FLAIR MRI.
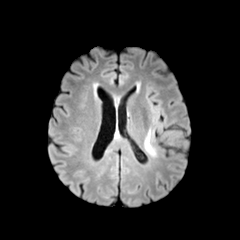
T1-weighted MRI.
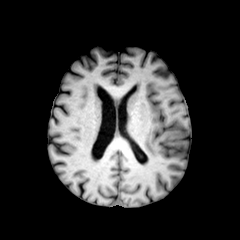
Post-contrast T1-weighted MR image.
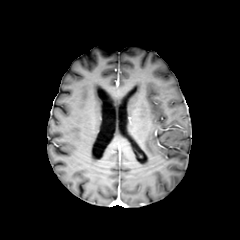
T2-weighted MR image.
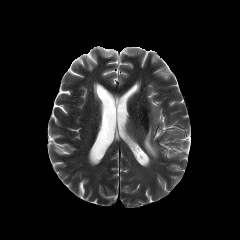
Brain, Image size 240x240
The peritumoral edema is bounded by bbox(144, 129, 156, 156).